FLAIR MR.
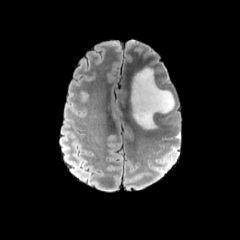
T1-weighted MRI.
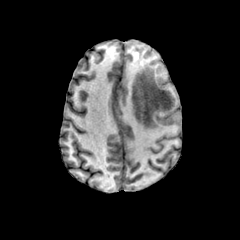
Post-contrast T1-weighted magnetic resonance.
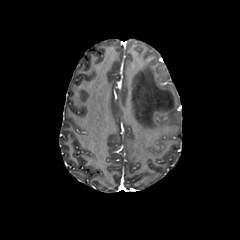
T2-weighted MRI.
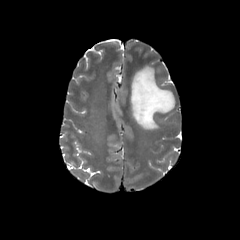
Axial slice
{
  "peritumoral_edema": [
    "(131,67,174,129)"
  ]
}